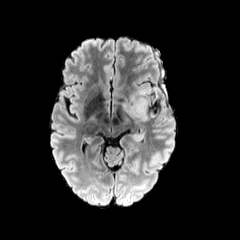
FLAIR MRI.
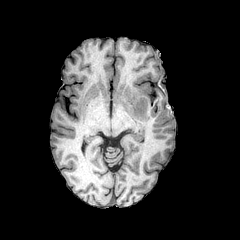
T1-weighted MR of the same slice.
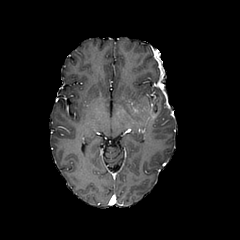
Post-contrast T1-weighted MR.
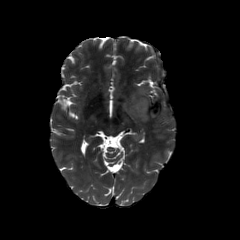
T2-weighted MRI of the same slice.
Axial view, Head
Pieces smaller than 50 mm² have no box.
enhancing tumor: 133, 105, 144, 113
peritumoral edema: 132, 133, 144, 141; 123, 90, 151, 120